Slice 76 of 155; Brain
FLAIR MRI.
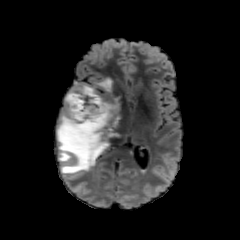
T1-weighted MR.
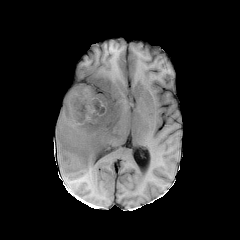
Post-contrast T1-weighted MR image.
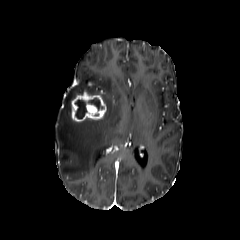
T2-weighted MR.
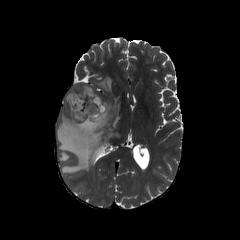
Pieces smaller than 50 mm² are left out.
enhancing tumor: [71, 90, 106, 122]
peritumoral edema: [57, 77, 121, 173]
necrotic tumor core: [88, 98, 102, 109], [75, 99, 86, 118]